240x240
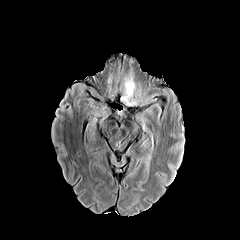
FLAIR MRI.
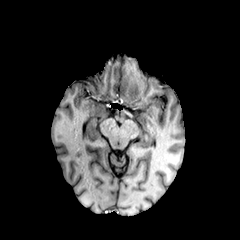
T1-weighted MR.
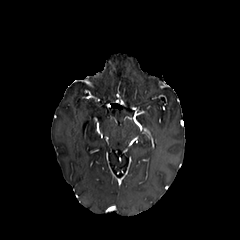
Post-contrast T1-weighted MRI.
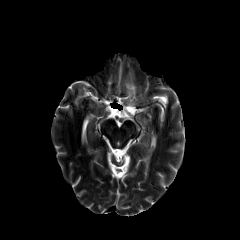
T2-weighted magnetic resonance.
peritumoral_edema:
  - (x1=120, y1=76, x2=139, y2=106)